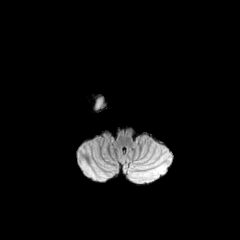
FLAIR MR.
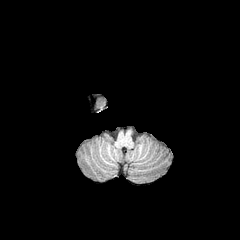
T1-weighted MR.
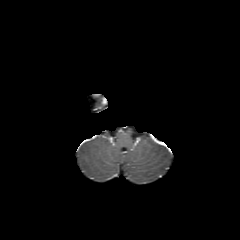
Post-contrast T1-weighted MR.
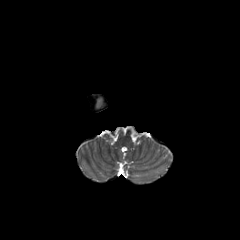
T2-weighted MRI.
Head, Axial view, 240x240
peritumoral edema: bounding box [97, 99, 105, 109]